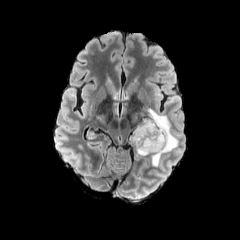
FLAIR magnetic resonance.
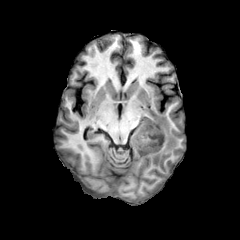
T1-weighted MR image.
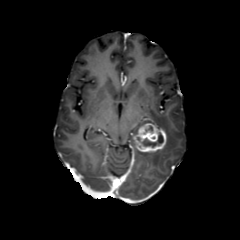
Same slice, post-contrast T1-weighted MRI.
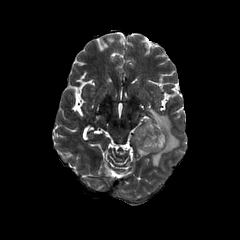
T2-weighted MRI.
Axial view; Head
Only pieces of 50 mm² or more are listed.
The enhancing tumor is located at <box>133,123,166,152</box>. The peritumoral edema is located at <box>129,107,178,167</box>. The largest necrotic tumor core region is bounded by <box>142,133,163,146</box>.